240x240 | Brain
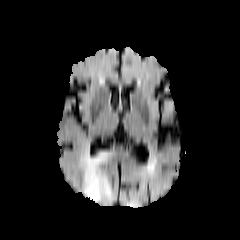
FLAIR MR.
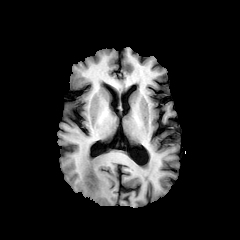
Same slice, T1-weighted magnetic resonance.
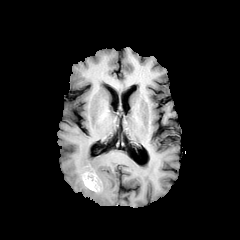
Post-contrast T1-weighted MR image.
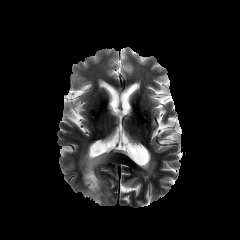
Same slice, T2-weighted magnetic resonance.
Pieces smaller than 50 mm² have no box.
The largest peritumoral edema region is located at 80, 149, 113, 202. The enhancing tumor is bounded by 82, 168, 101, 192.